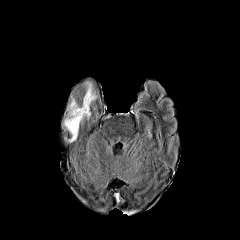
FLAIR MR.
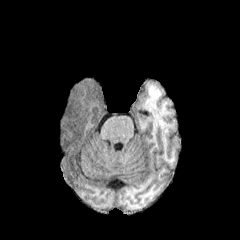
Same slice, T1-weighted MR image.
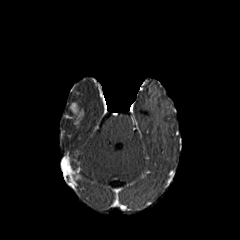
Post-contrast T1-weighted MR image of the same slice.
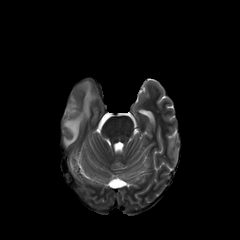
Same slice, T2-weighted MR image.
Axial plane | Head
{
  "peritumoral_edema": [
    "[x1=79, y1=81, x2=96, y2=127]",
    "[x1=67, y1=96, x2=75, y2=115]",
    "[x1=63, y1=118, x2=78, y2=142]"
  ],
  "enhancing_tumor": [
    "[x1=66, y1=102, x2=83, y2=127]"
  ]
}